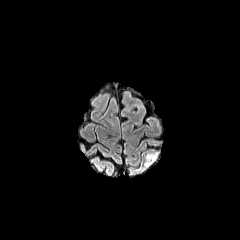
FLAIR MRI.
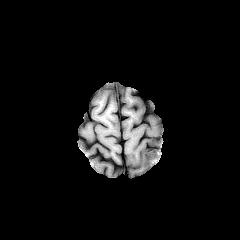
T1-weighted MR.
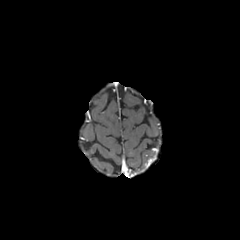
Post-contrast T1-weighted magnetic resonance.
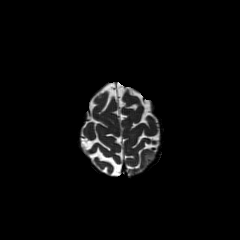
T2-weighted MRI.
Brain
{
  "enhancing_tumor": [
    "region(145, 156, 156, 167)"
  ],
  "peritumoral_edema": [
    "region(138, 153, 157, 171)"
  ]
}